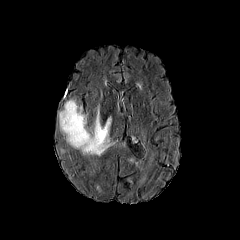
FLAIR MR image.
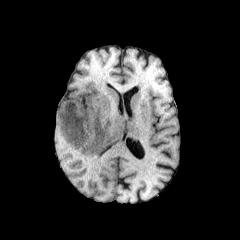
T1-weighted MR image of the same slice.
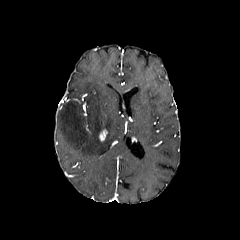
Post-contrast T1-weighted MR image.
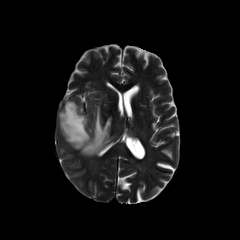
T2-weighted MR of the same slice.
Axial plane
The enhancing tumor is at x1=99 y1=129 x2=107 y2=141. The peritumoral edema is bounded by x1=59 y1=100 x2=111 y2=155.